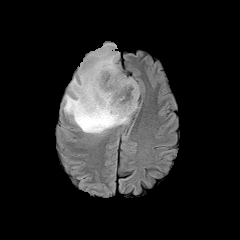
FLAIR MR image.
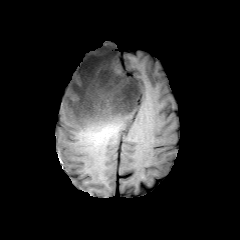
T1-weighted MRI.
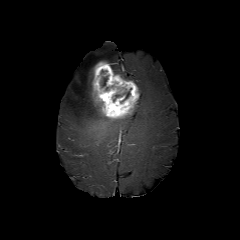
Same slice, post-contrast T1-weighted MRI.
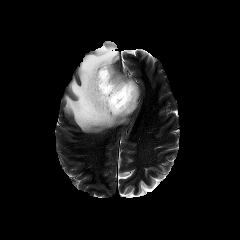
T2-weighted MRI.
Axial view.
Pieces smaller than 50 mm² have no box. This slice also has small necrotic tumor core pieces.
enhancing_tumor:
  - (92, 60, 139, 120)
peritumoral_edema:
  - (63, 43, 130, 133)